240x240 px. Head. Axial slice.
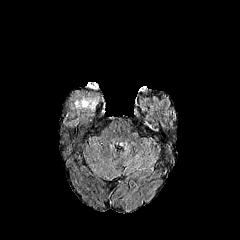
FLAIR MR image.
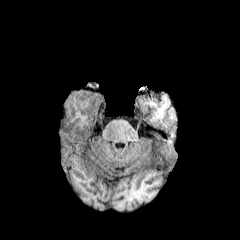
T1-weighted MR.
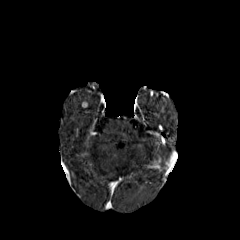
Post-contrast T1-weighted MR of the same slice.
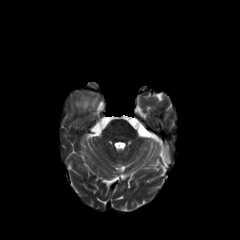
T2-weighted MR.
The enhancing tumor appears at x1=81, y1=96, x2=89, y2=107. The peritumoral edema is located at x1=70, y1=92, x2=100, y2=111.